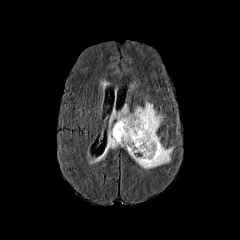
FLAIR MR image.
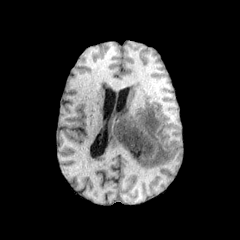
T1-weighted magnetic resonance.
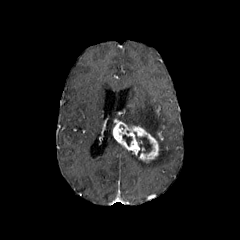
Post-contrast T1-weighted MRI.
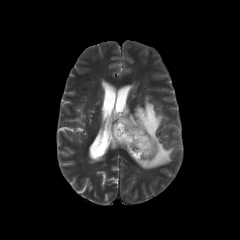
Same slice, T2-weighted MR image.
Axial slice, 240x240 px
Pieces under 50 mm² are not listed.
peritumoral_edema:
  - (left=111, top=101, right=173, bottom=169)
  - (left=105, top=129, right=121, bottom=152)
enhancing_tumor:
  - (left=112, top=120, right=159, bottom=162)
necrotic_tumor_core:
  - (left=123, top=135, right=132, bottom=145)
  - (left=134, top=132, right=151, bottom=152)